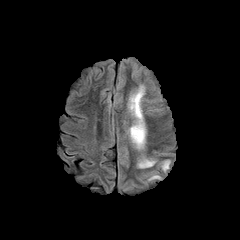
FLAIR magnetic resonance.
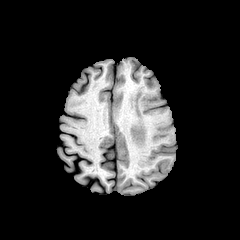
T1-weighted MR of the same slice.
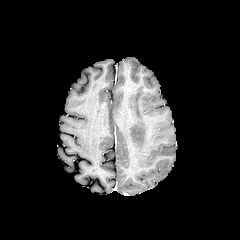
Same slice, post-contrast T1-weighted MR image.
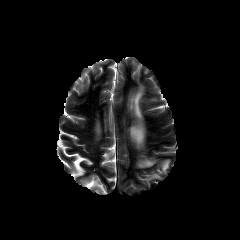
Same slice, T2-weighted MR image.
Head | Axial view
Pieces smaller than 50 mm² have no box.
peritumoral edema: (x1=163, y1=161, x2=169, y2=170), (x1=139, y1=159, x2=154, y2=167), (x1=130, y1=87, x2=145, y2=148)